Axial plane; Brain
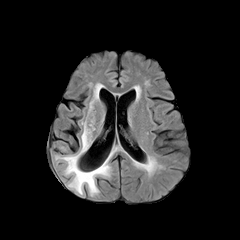
FLAIR MRI.
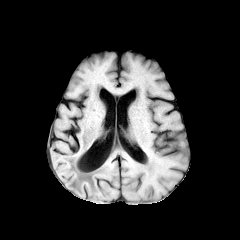
T1-weighted MR image.
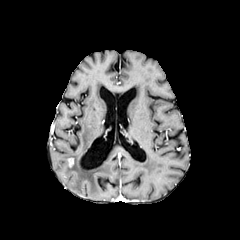
Post-contrast T1-weighted MR image.
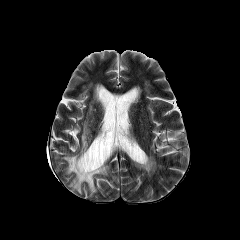
T2-weighted MR.
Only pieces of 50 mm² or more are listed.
enhancing_tumor:
  - (68, 158, 74, 167)
peritumoral_edema:
  - (55, 121, 116, 193)
  - (89, 84, 101, 110)